FLAIR magnetic resonance.
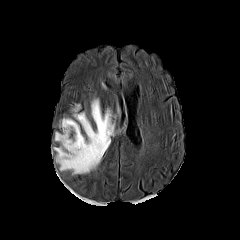
T1-weighted MR.
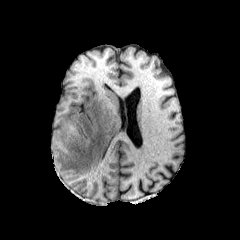
Post-contrast T1-weighted MR.
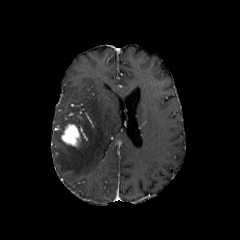
T2-weighted magnetic resonance.
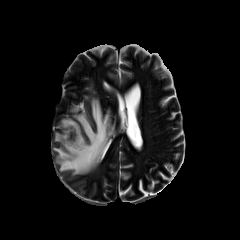
Head. Axial slice. Image size 240x240.
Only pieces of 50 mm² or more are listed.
The largest enhancing tumor region lies within [61, 124, 81, 147]. 2 peritumoral edema regions are bounded by [61, 119, 79, 130], [53, 98, 114, 175].